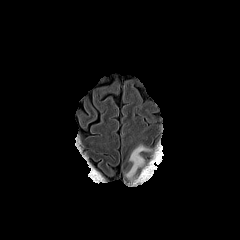
FLAIR MRI.
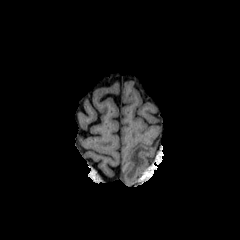
Same slice, T1-weighted MR.
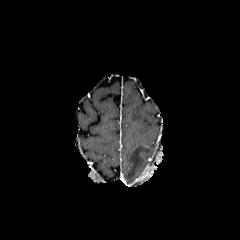
Post-contrast T1-weighted MR image of the same slice.
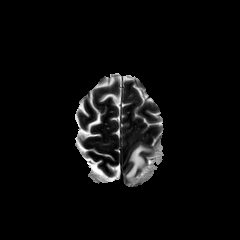
T2-weighted MR image.
Brain, 240x240 px
<segmentation>
  <peritumoral_edema>126 144 152 180</peritumoral_edema>
</segmentation>